Axial slice; Head; Slice 87/155
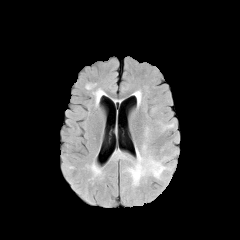
FLAIR magnetic resonance.
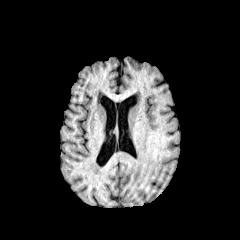
Same slice, T1-weighted MR.
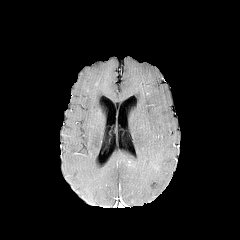
Post-contrast T1-weighted MRI of the same slice.
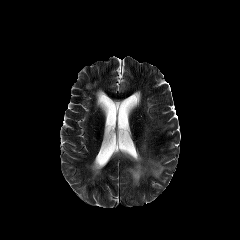
T2-weighted MR image.
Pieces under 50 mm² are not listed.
The 2 largest peritumoral edema regions are located at (125,143,169,186), (162,123,174,131).